FLAIR magnetic resonance.
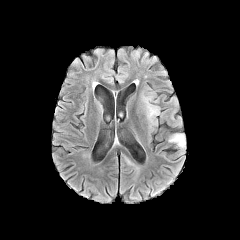
T1-weighted MR.
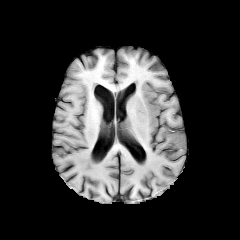
Post-contrast T1-weighted MR image.
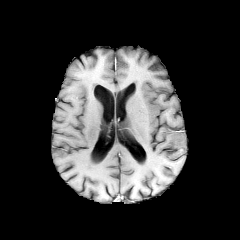
T2-weighted MR image.
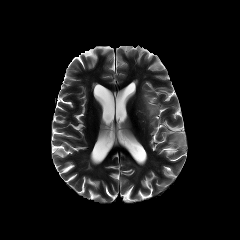
Axial view.
peritumoral edema: (left=165, top=132, right=186, bottom=151), (left=144, top=100, right=160, bottom=123)